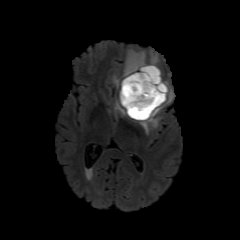
FLAIR MR.
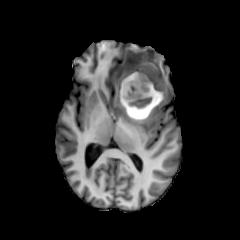
T1-weighted MR.
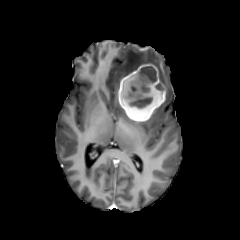
Same slice, post-contrast T1-weighted MRI.
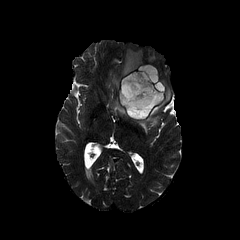
T2-weighted MRI.
Head.
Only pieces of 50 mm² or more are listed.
peritumoral edema: box(149, 51, 158, 65); box(138, 68, 173, 134); box(114, 99, 126, 115); box(112, 49, 146, 91) | enhancing tumor: box(118, 64, 165, 121) | necrotic tumor core: box(122, 66, 159, 117)